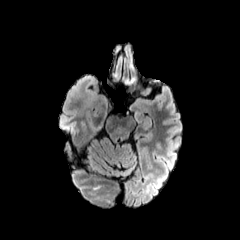
FLAIR magnetic resonance.
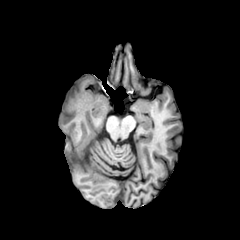
T1-weighted MRI.
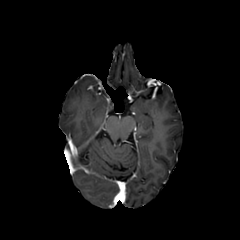
Same slice, post-contrast T1-weighted MR.
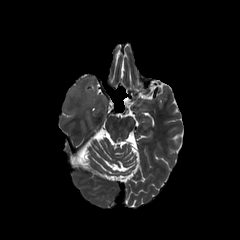
T2-weighted MRI.
Head
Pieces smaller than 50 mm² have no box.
peritumoral edema: bounding box [70, 78, 85, 94]